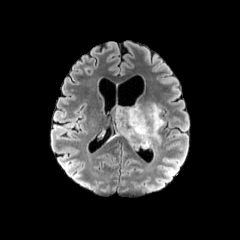
FLAIR MR image.
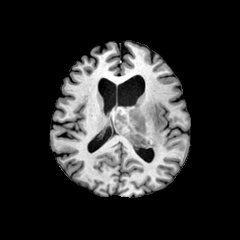
T1-weighted MR image of the same slice.
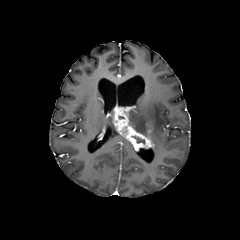
Post-contrast T1-weighted MRI.
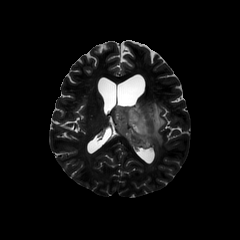
T2-weighted MRI of the same slice.
Brain
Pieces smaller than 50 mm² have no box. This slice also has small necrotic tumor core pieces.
The largest enhancing tumor region is located at x1=114, y1=106, x2=153, y2=150. The largest peritumoral edema region is bounded by x1=129, y1=103, x2=164, y2=143.